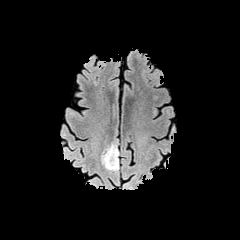
FLAIR MR image.
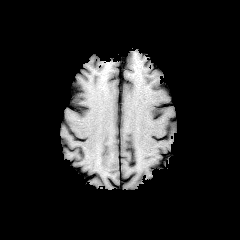
T1-weighted MRI.
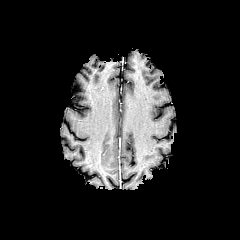
Post-contrast T1-weighted MR of the same slice.
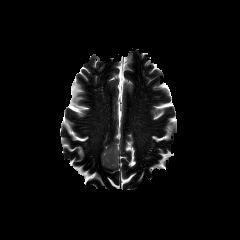
T2-weighted MR image of the same slice.
Brain. Axial view.
peritumoral edema = [x1=101, y1=142, x2=118, y2=169]